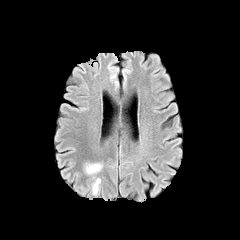
FLAIR MR image.
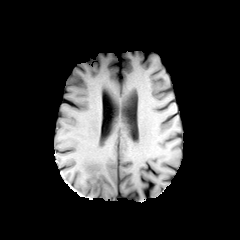
T1-weighted MR image of the same slice.
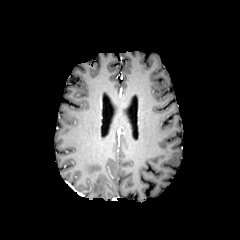
Same slice, post-contrast T1-weighted MRI.
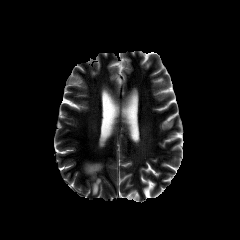
T2-weighted MR image of the same slice.
Axial plane, Brain
peritumoral edema at {"x1": 92, "y1": 178, "x2": 100, "y2": 195}, {"x1": 85, "y1": 163, "x2": 101, "y2": 174}